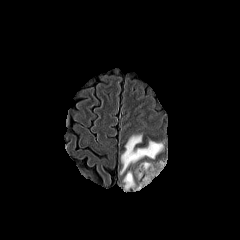
FLAIR magnetic resonance.
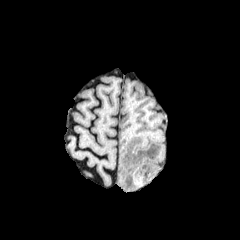
T1-weighted magnetic resonance of the same slice.
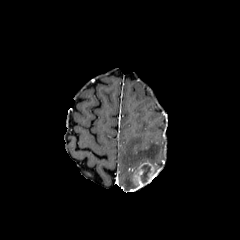
Post-contrast T1-weighted magnetic resonance.
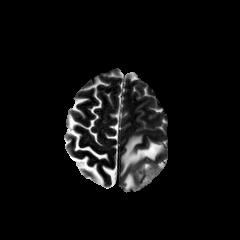
Same slice, T2-weighted MRI.
Axial plane, Head
peritumoral edema = region(123, 171, 137, 190); region(120, 135, 163, 175)
enhancing tumor = region(131, 162, 160, 188)
necrotic tumor core = region(141, 165, 150, 182)